FLAIR MR.
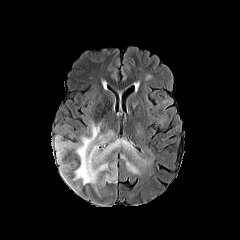
T1-weighted magnetic resonance.
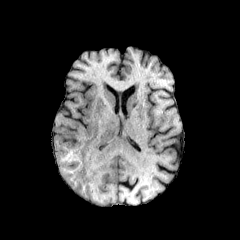
Post-contrast T1-weighted magnetic resonance.
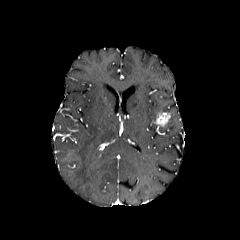
T2-weighted MR image.
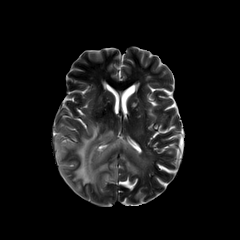
240x240 px
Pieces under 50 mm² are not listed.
The enhancing tumor appears at (155,112,170,126). The 4 largest peritumoral edema regions are located at (55,122,148,194), (122,156,139,173), (56,127,77,138), (101,163,117,184).